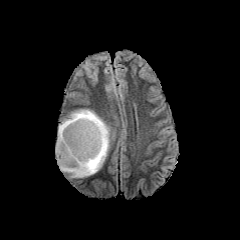
FLAIR magnetic resonance.
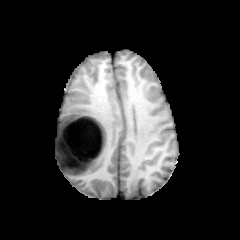
Same slice, T1-weighted MR image.
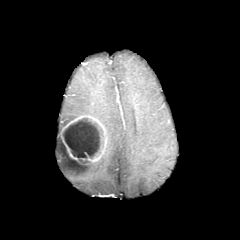
Post-contrast T1-weighted MR of the same slice.
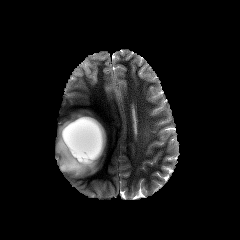
T2-weighted MR image of the same slice.
Head
enhancing tumor: l=61, t=115, r=106, b=164
peritumoral edema: l=55, t=109, r=109, b=177
necrotic tumor core: l=62, t=118, r=103, b=162